Head
FLAIR MR.
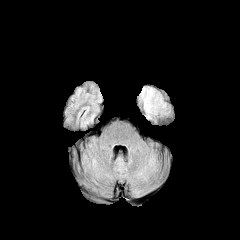
T1-weighted MRI.
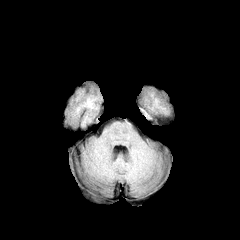
Post-contrast T1-weighted MR.
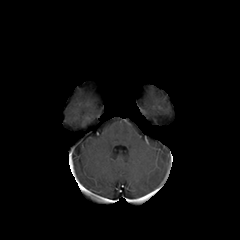
T2-weighted MR.
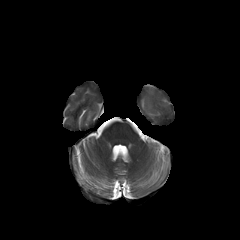
peritumoral edema at (139,86,168,115)